FLAIR MR image.
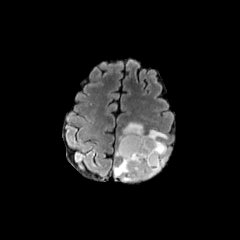
T1-weighted MR image.
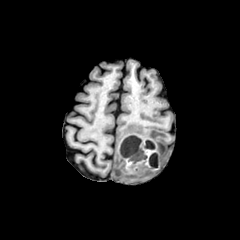
Post-contrast T1-weighted magnetic resonance.
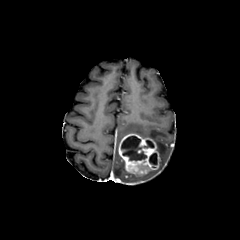
T2-weighted MR image.
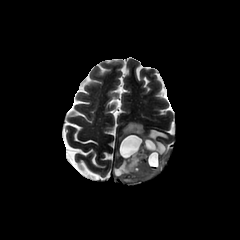
Image size 240x240
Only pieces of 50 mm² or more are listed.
2 necrotic tumor core regions appear at rect(121, 136, 153, 160); rect(149, 153, 157, 164). The enhancing tumor is located at rect(118, 133, 159, 175). The largest peritumoral edema region appears at rect(113, 122, 167, 181).